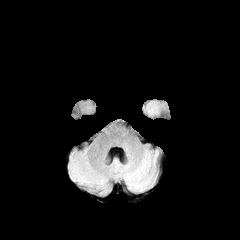
FLAIR MR.
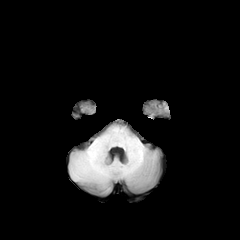
T1-weighted magnetic resonance.
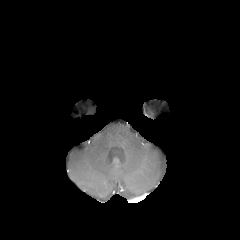
Post-contrast T1-weighted MR image of the same slice.
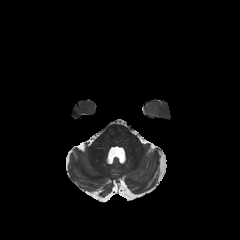
T2-weighted MR.
Brain
<segmentation>
  <peritumoral_edema>(x1=146, y1=103, x2=158, y2=115)</peritumoral_edema>
</segmentation>